240x240. Slice index 58. Axial view.
FLAIR magnetic resonance.
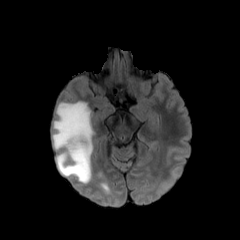
T1-weighted MRI.
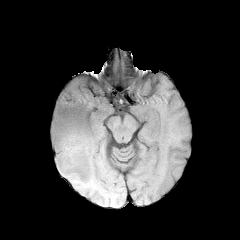
Post-contrast T1-weighted MRI.
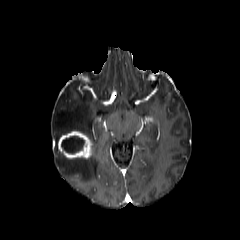
T2-weighted MR image.
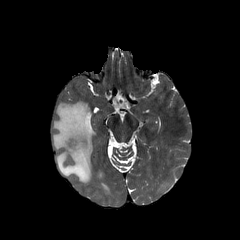
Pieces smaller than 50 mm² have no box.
The largest peritumoral edema region appears at 52,101,94,183. The necrotic tumor core is bounded by 61,136,84,153. The enhancing tumor appears at 58,131,92,158.